Brain; Slice 102 of 155; Image size 240x240
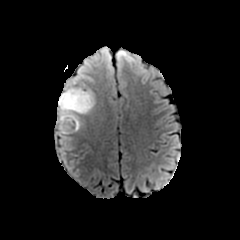
FLAIR magnetic resonance.
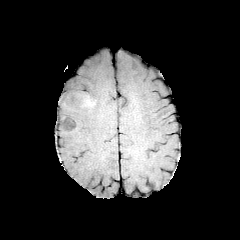
T1-weighted MRI.
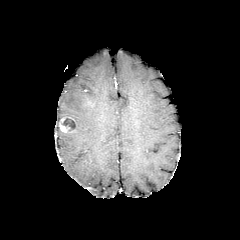
Same slice, post-contrast T1-weighted MR image.
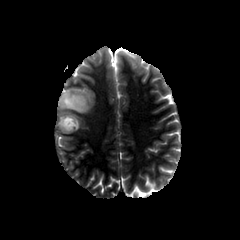
T2-weighted MR image.
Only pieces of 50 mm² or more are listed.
enhancing_tumor:
  - bbox=[58, 116, 77, 133]
peritumoral_edema:
  - bbox=[56, 83, 95, 136]
necrotic_tumor_core:
  - bbox=[62, 118, 74, 130]